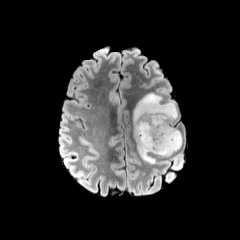
FLAIR MRI.
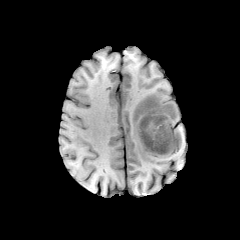
T1-weighted MR.
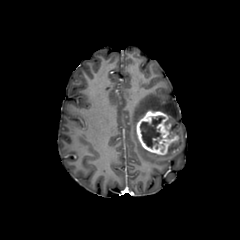
Post-contrast T1-weighted magnetic resonance.
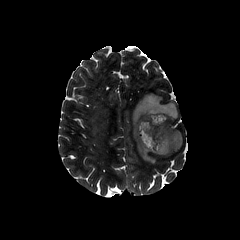
T2-weighted magnetic resonance.
Image size 240x240; Axial slice; Head
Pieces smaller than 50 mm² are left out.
{
  "necrotic_tumor_core": [
    "bbox(140, 115, 164, 148)"
  ],
  "enhancing_tumor": [
    "bbox(136, 110, 179, 154)"
  ],
  "peritumoral_edema": [
    "bbox(132, 93, 182, 163)"
  ]
}